Brain, Slice index 105, 240x240 px
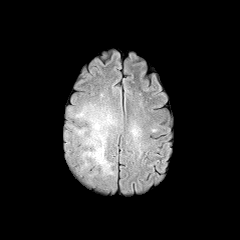
FLAIR magnetic resonance.
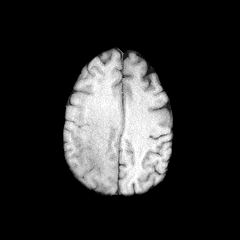
T1-weighted MR of the same slice.
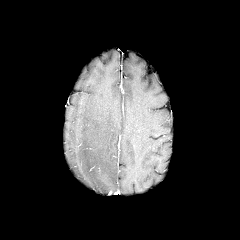
Same slice, post-contrast T1-weighted magnetic resonance.
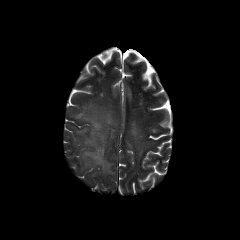
Same slice, T2-weighted MRI.
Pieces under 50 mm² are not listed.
The 2 largest peritumoral edema regions appear at 74:103:117:176, 130:126:139:136.